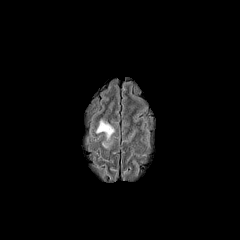
FLAIR magnetic resonance.
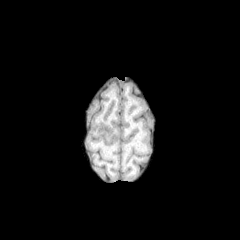
T1-weighted magnetic resonance.
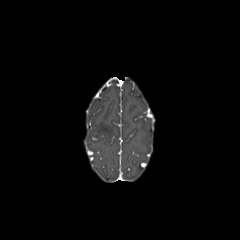
Same slice, post-contrast T1-weighted MR image.
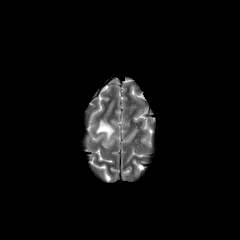
T2-weighted MR image of the same slice.
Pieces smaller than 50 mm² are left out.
peritumoral edema: <box>96,120,114,140</box>